Image covers 240 mm x 240 mm, 240x240, Brain
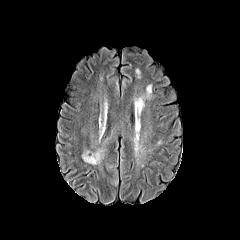
FLAIR magnetic resonance.
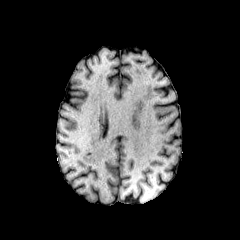
Same slice, T1-weighted MR.
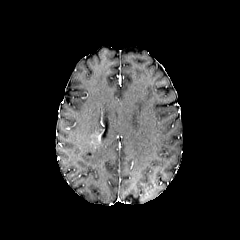
Post-contrast T1-weighted MR of the same slice.
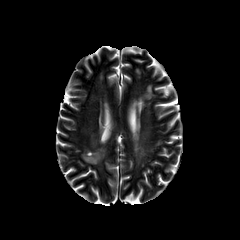
Same slice, T2-weighted MR image.
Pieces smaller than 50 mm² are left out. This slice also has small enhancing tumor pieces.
{
  "peritumoral_edema": [
    "<box>99,121,105,138</box>",
    "<box>82,148,104,164</box>"
  ]
}